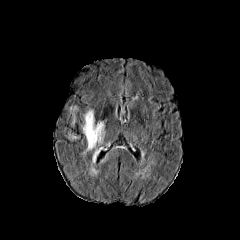
FLAIR MR.
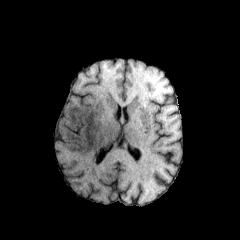
Same slice, T1-weighted MR image.
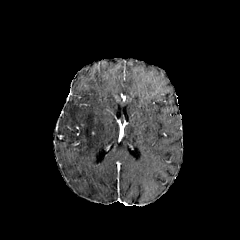
Post-contrast T1-weighted MRI.
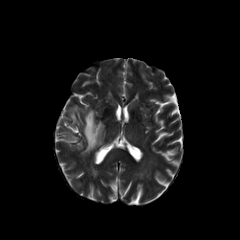
Same slice, T2-weighted MRI.
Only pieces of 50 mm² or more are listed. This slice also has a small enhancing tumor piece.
peritumoral edema at 68, 132, 80, 139; 80, 108, 107, 154; 90, 142, 110, 174